FLAIR MRI.
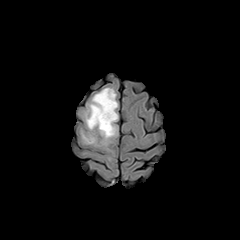
T1-weighted MR.
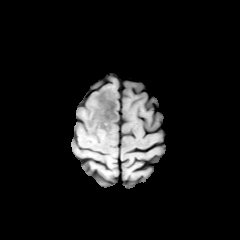
Post-contrast T1-weighted magnetic resonance.
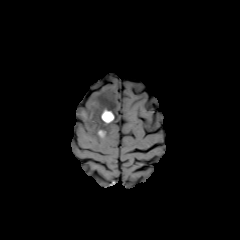
T2-weighted magnetic resonance.
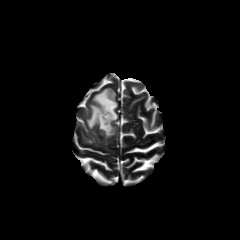
Brain.
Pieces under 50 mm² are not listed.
enhancing tumor: [x1=101, y1=109, x2=114, y2=123] | peritumoral edema: [x1=82, y1=133, x2=96, y2=144], [x1=84, y1=88, x2=118, y2=145]